FLAIR MR image.
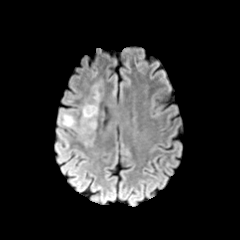
T1-weighted MR image.
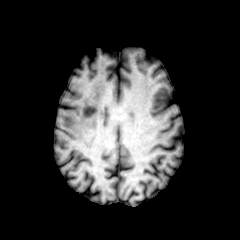
Post-contrast T1-weighted MR.
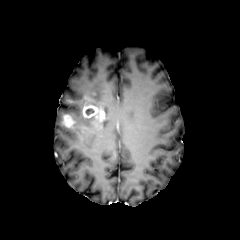
T2-weighted MR.
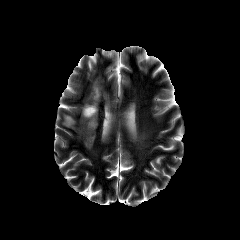
240x240 px
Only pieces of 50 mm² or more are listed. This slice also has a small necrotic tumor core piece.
peritumoral edema at bbox(83, 116, 96, 128)
enhancing tumor at bbox(82, 105, 100, 117); bbox(62, 114, 74, 127)